FLAIR MR.
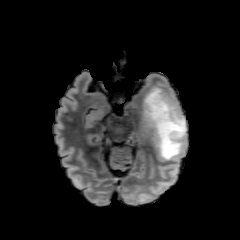
T1-weighted magnetic resonance.
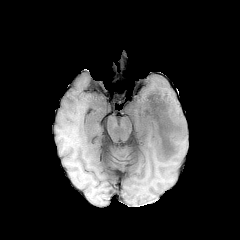
Post-contrast T1-weighted MR.
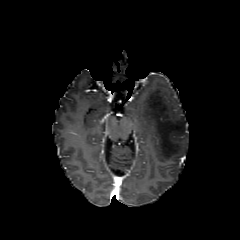
T2-weighted MRI.
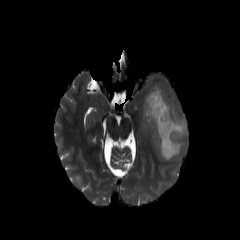
Segmented structures:
* peritumoral edema: l=141, t=87, r=186, b=160